FLAIR MR.
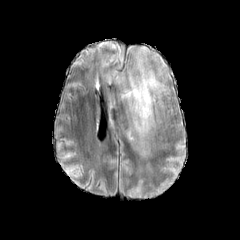
T1-weighted MRI.
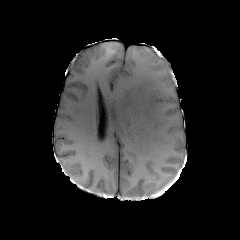
Post-contrast T1-weighted MRI.
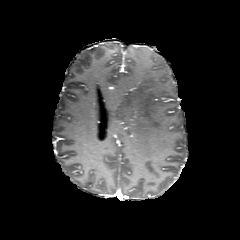
T2-weighted MRI.
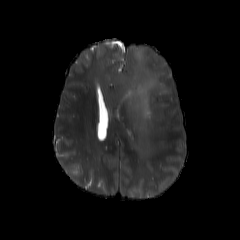
The peritumoral edema is bounded by (116,63,168,137).